Axial view, Brain, Image width 240 mm
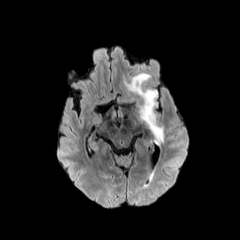
FLAIR MRI.
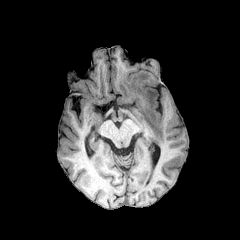
T1-weighted MRI.
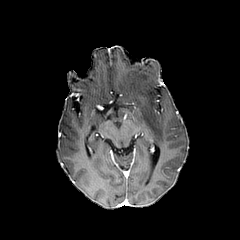
Post-contrast T1-weighted MR image.
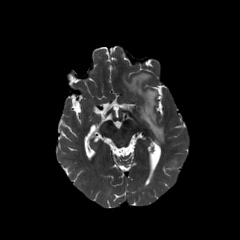
T2-weighted MR.
peritumoral edema at [124, 73, 163, 143]